Head
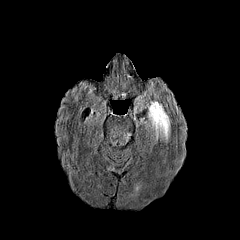
FLAIR MR image.
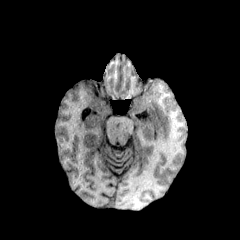
T1-weighted MRI.
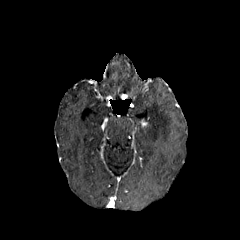
Post-contrast T1-weighted MRI.
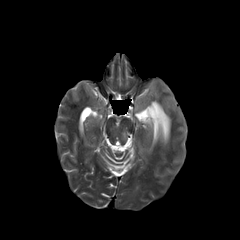
Same slice, T2-weighted MR.
- peritumoral edema: 148, 101, 170, 142